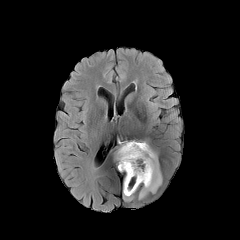
FLAIR MR.
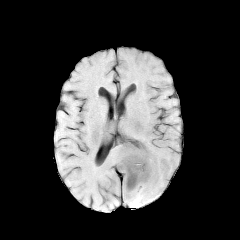
T1-weighted MRI.
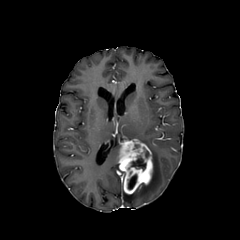
Post-contrast T1-weighted magnetic resonance.
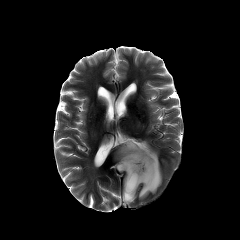
T2-weighted MR image of the same slice.
Head; Axial slice
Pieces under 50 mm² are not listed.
<segmentation>
  <peritumoral_edema><box>138,141,162,199</box>, <box>123,189,135,202</box></peritumoral_edema>
  <necrotic_tumor_core><box>128,174,136,189</box>, <box>131,156,145,170</box></necrotic_tumor_core>
  <enhancing_tumor><box>118,139,152,194</box></enhancing_tumor>
</segmentation>